Head
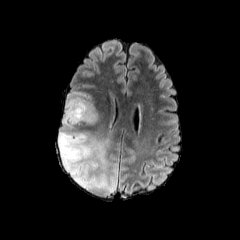
FLAIR MRI.
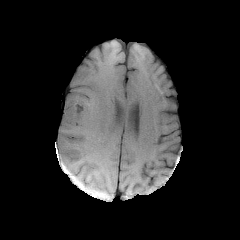
T1-weighted MRI of the same slice.
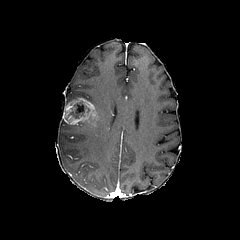
Post-contrast T1-weighted MR of the same slice.
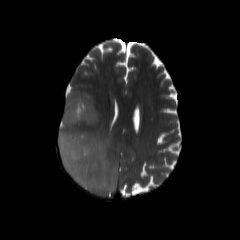
Same slice, T2-weighted MR.
enhancing tumor: bounding box bbox(63, 98, 96, 124)
peritumoral edema: bounding box bbox(66, 92, 93, 104); bbox(78, 113, 99, 124); bbox(58, 120, 117, 197)
necrotic tumor core: bounding box bbox(69, 101, 89, 118)